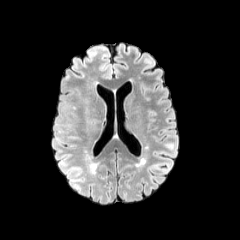
FLAIR MR.
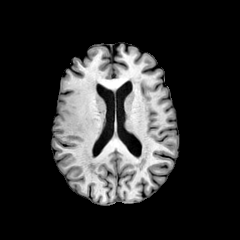
T1-weighted magnetic resonance of the same slice.
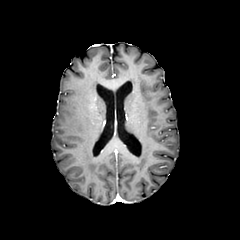
Same slice, post-contrast T1-weighted MR image.
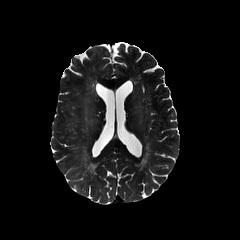
T2-weighted MRI of the same slice.
Brain
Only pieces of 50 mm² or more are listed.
peritumoral edema = [x1=87, y1=114, x2=101, y2=123], [x1=86, y1=105, x2=94, y2=115]